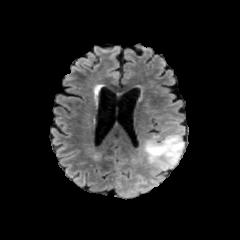
FLAIR magnetic resonance.
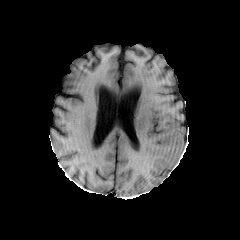
T1-weighted MRI.
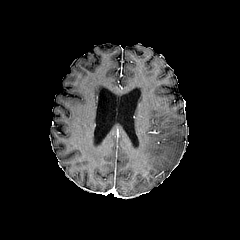
Post-contrast T1-weighted magnetic resonance of the same slice.
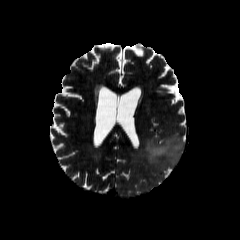
Same slice, T2-weighted MRI.
Head, Axial slice
peritumoral edema = <bbox>143, 133, 184, 171</bbox>